Image size 240x240. Slice 126 of 155. Head.
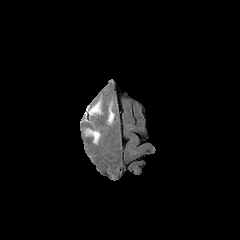
FLAIR MR image.
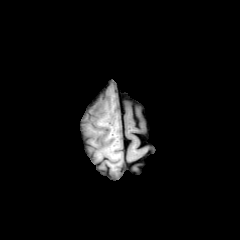
Same slice, T1-weighted MRI.
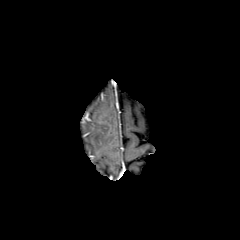
Post-contrast T1-weighted MRI of the same slice.
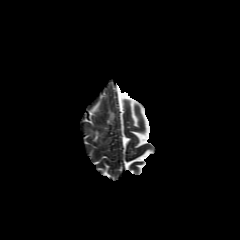
T2-weighted MR image.
<segmentation>
  <peritumoral_edema>rect(88, 130, 99, 142); rect(89, 102, 100, 114); rect(108, 109, 114, 123)</peritumoral_edema>
</segmentation>